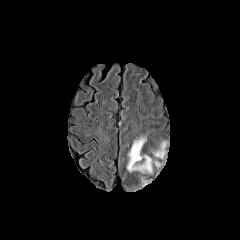
FLAIR MR image.
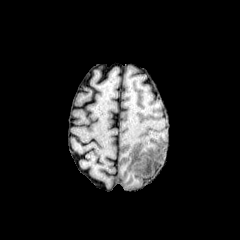
Same slice, T1-weighted MR image.
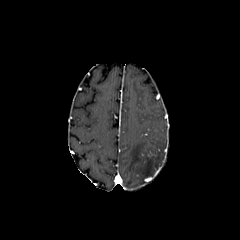
Post-contrast T1-weighted magnetic resonance.
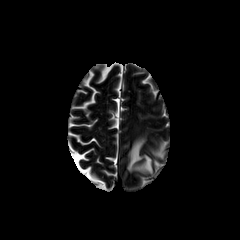
T2-weighted MR image.
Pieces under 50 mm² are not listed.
peritumoral edema at (127,137,152,173), (153,142,165,158)